FLAIR MR image.
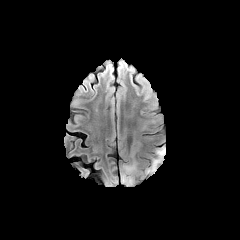
T1-weighted magnetic resonance.
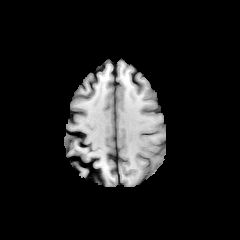
Post-contrast T1-weighted magnetic resonance.
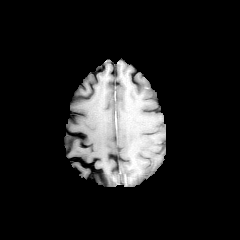
T2-weighted MR image.
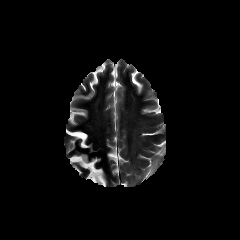
Head. Axial view.
peritumoral_edema:
  - region(147, 146, 165, 173)